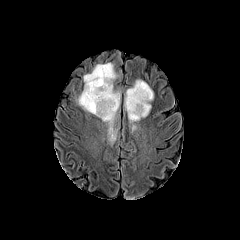
FLAIR MR image.
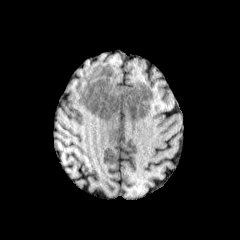
Same slice, T1-weighted MRI.
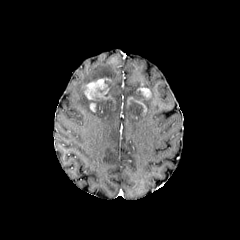
Same slice, post-contrast T1-weighted MR.
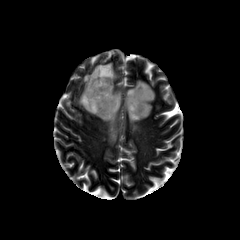
T2-weighted MR of the same slice.
Axial view; Brain
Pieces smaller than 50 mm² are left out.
Findings:
- peritumoral edema: [78,63,120,137], [124,80,154,131]
- necrotic tumor core: [89,97,106,111], [127,90,146,115]
- enhancing tumor: [137,87,151,99], [84,78,110,99]